FLAIR MRI.
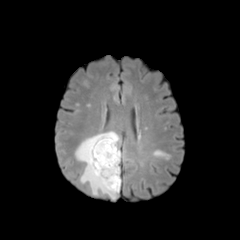
T1-weighted magnetic resonance.
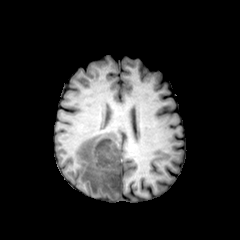
Post-contrast T1-weighted MR.
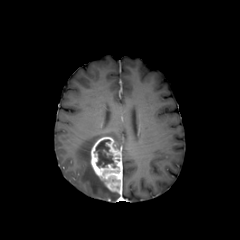
T2-weighted MR image.
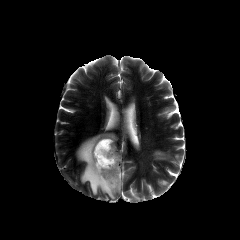
240x240; Axial slice; Brain
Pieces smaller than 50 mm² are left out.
The largest enhancing tumor region is located at (91, 137, 122, 192). The necrotic tumor core appears at (96, 139, 115, 167). The peritumoral edema is located at (75, 131, 119, 199).